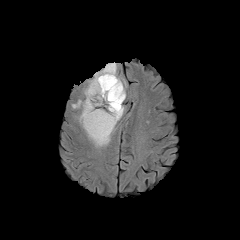
FLAIR MR.
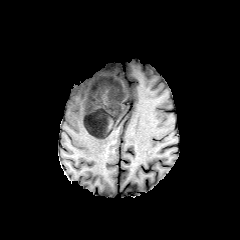
T1-weighted MRI.
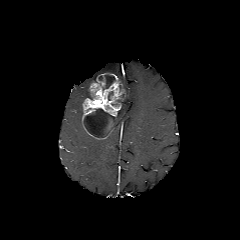
Same slice, post-contrast T1-weighted MRI.
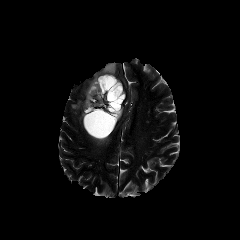
T2-weighted MR.
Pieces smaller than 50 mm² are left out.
Findings:
* peritumoral edema: 72, 100, 83, 127; 87, 94, 126, 147; 84, 62, 117, 99
* necrotic tumor core: 84, 108, 115, 137; 103, 75, 114, 89
* enhancing tumor: 82, 73, 125, 139